FLAIR magnetic resonance.
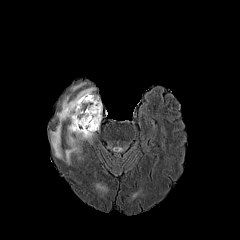
T1-weighted MRI.
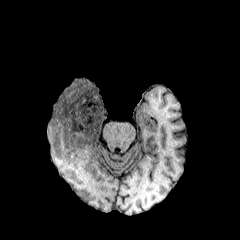
Post-contrast T1-weighted MR.
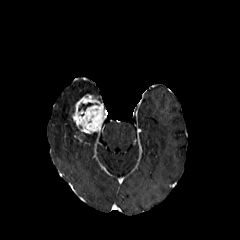
T2-weighted MR.
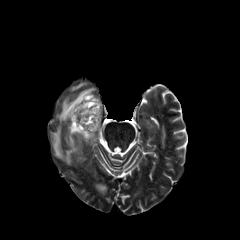
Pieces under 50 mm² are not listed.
The largest necrotic tumor core region is at (79,103,92,110). The largest enhancing tumor region lies within (71,94,106,141). The 3 largest peritumoral edema regions are bounded by (70,82,86,91), (50,87,97,164), (81,132,94,141).